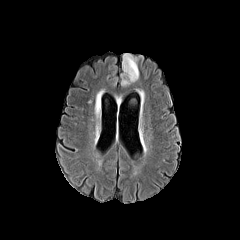
FLAIR MR.
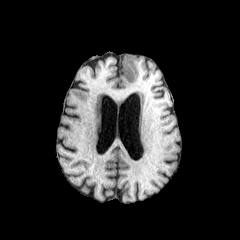
Same slice, T1-weighted MRI.
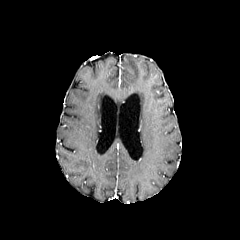
Post-contrast T1-weighted MRI.
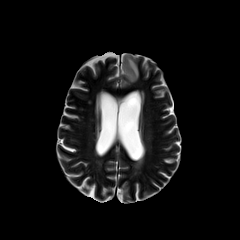
Same slice, T2-weighted MRI.
Axial plane.
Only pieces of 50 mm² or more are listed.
The largest peritumoral edema region is at l=121, t=53, r=139, b=85.